Image width 240 mm, 1.00 mm slice spacing; Slice 42/155; Axial slice
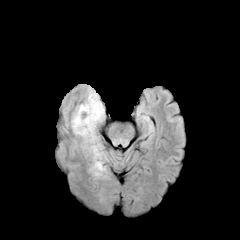
FLAIR MRI.
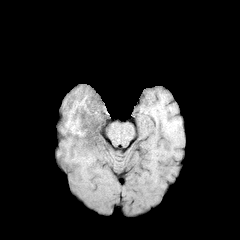
Same slice, T1-weighted MR image.
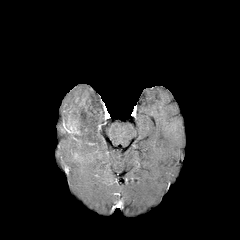
Post-contrast T1-weighted MRI.
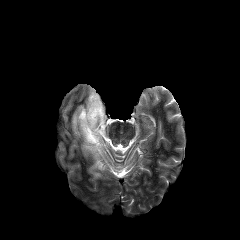
T2-weighted magnetic resonance.
peritumoral edema = (left=72, top=90, right=107, bottom=176)